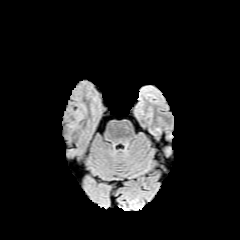
FLAIR MR.
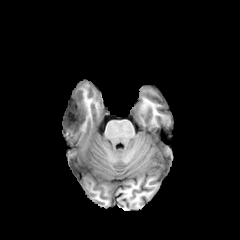
T1-weighted MR.
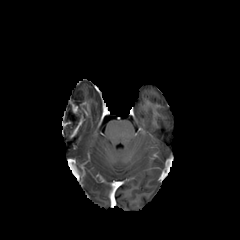
Post-contrast T1-weighted MR.
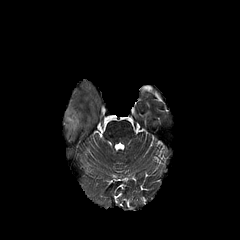
T2-weighted MR image of the same slice.
Brain
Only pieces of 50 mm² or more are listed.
The largest enhancing tumor region is located at box(67, 99, 88, 138). The peritumoral edema is located at box(72, 91, 83, 100). The largest necrotic tumor core region is located at box(63, 102, 85, 135).